Slice 127/155 | Brain
FLAIR MRI.
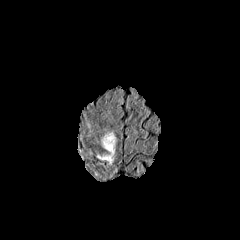
T1-weighted MRI.
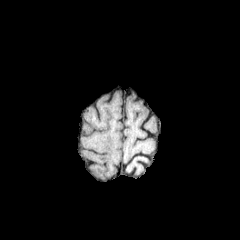
Post-contrast T1-weighted MR.
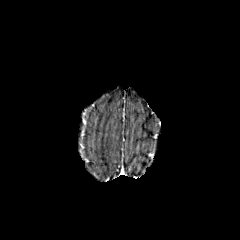
T2-weighted magnetic resonance.
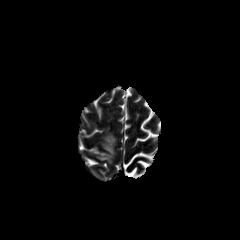
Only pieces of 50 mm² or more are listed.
The largest peritumoral edema region is bounded by (96,132,116,166).